Axial slice | Slice index 54
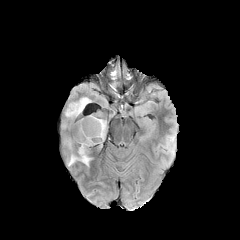
FLAIR MRI.
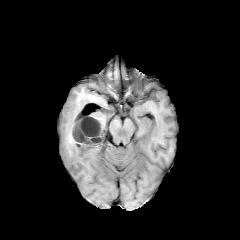
Same slice, T1-weighted magnetic resonance.
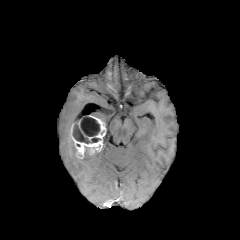
Post-contrast T1-weighted magnetic resonance.
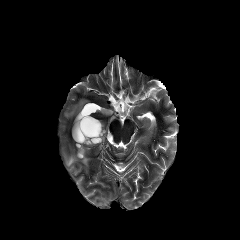
T2-weighted MR of the same slice.
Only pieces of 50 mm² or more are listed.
Annotated regions:
• peritumoral edema: [67,149,92,166], [65,98,88,117]
• necrotic tumor core: [80,117,100,136], [72,124,100,143]
• enhancing tumor: [70,115,106,158]